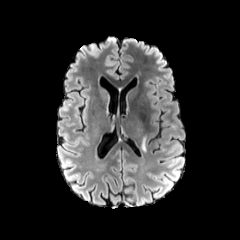
FLAIR MRI.
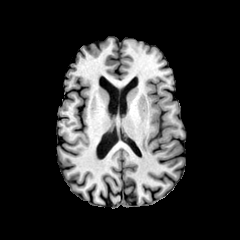
T1-weighted MRI.
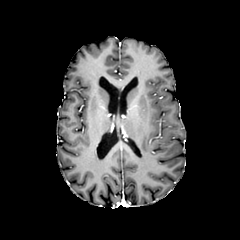
Same slice, post-contrast T1-weighted magnetic resonance.
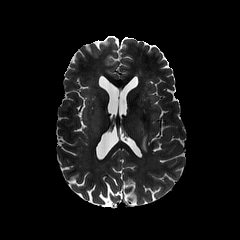
T2-weighted magnetic resonance.
Head; Axial view
peritumoral_edema:
  - 141,132,146,152